FLAIR MR.
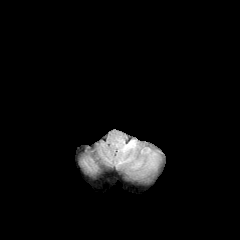
T1-weighted magnetic resonance.
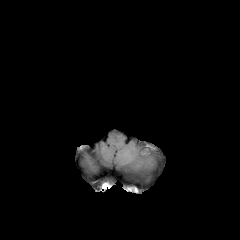
Post-contrast T1-weighted magnetic resonance.
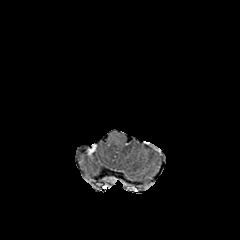
T2-weighted MR.
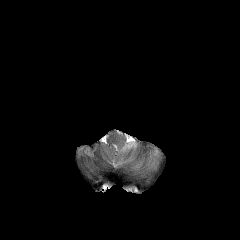
240x240 px, Axial view
peritumoral edema: l=132, t=160, r=142, b=168; l=115, t=139, r=138, b=165; l=142, t=148, r=157, b=168